FLAIR magnetic resonance.
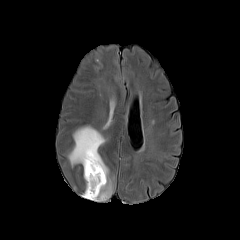
T1-weighted MR.
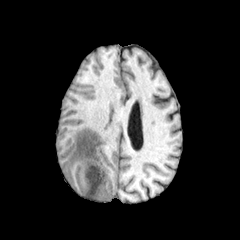
Post-contrast T1-weighted MRI.
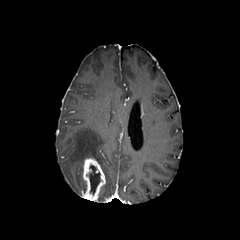
T2-weighted magnetic resonance.
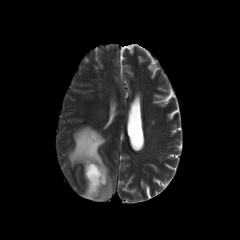
Axial plane.
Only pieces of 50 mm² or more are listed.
peritumoral edema: bounding box [68,126,113,201]
necrotic tumor core: bounding box [88,165,100,194]
enhancing tumor: bounding box [82,158,105,201]